FLAIR MR image.
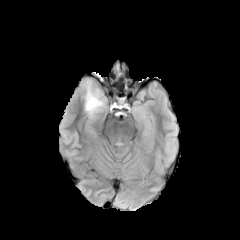
T1-weighted MR.
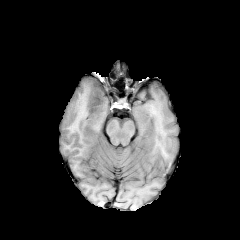
Post-contrast T1-weighted MR image.
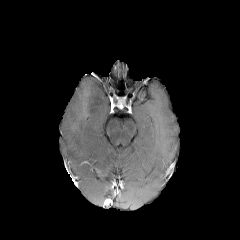
T2-weighted MR.
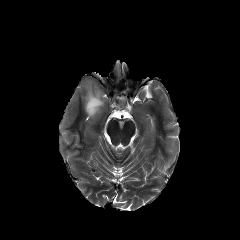
Axial slice, Brain
The peritumoral edema lies within x1=85, y1=78, x2=105, y2=117.